Axial plane. Head. 240x240. Slice 98/155.
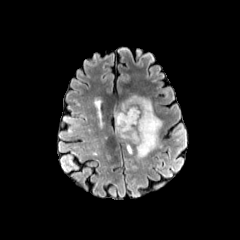
FLAIR MR.
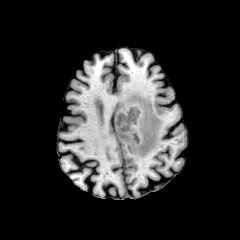
T1-weighted magnetic resonance of the same slice.
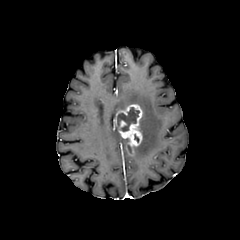
Post-contrast T1-weighted MR.
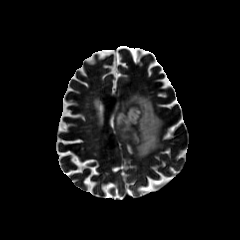
Same slice, T2-weighted MRI.
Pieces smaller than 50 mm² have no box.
The largest peritumoral edema region lies within 117, 95, 162, 157. The largest necrotic tumor core region is bounded by 117, 107, 139, 131. The enhancing tumor is bounded by 115, 104, 142, 155.